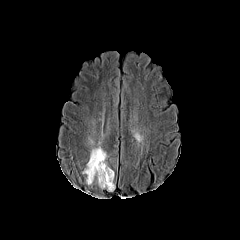
FLAIR magnetic resonance.
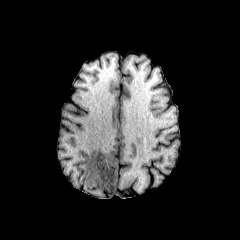
T1-weighted MR image of the same slice.
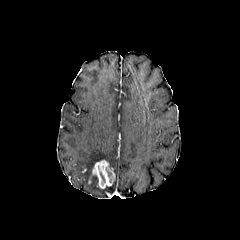
Post-contrast T1-weighted MR image.
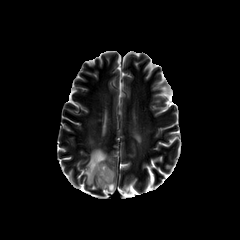
T2-weighted MRI of the same slice.
240x240
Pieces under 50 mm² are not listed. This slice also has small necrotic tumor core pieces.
{
  "peritumoral_edema": [
    "bbox(106, 181, 115, 191)",
    "bbox(84, 146, 107, 185)"
  ],
  "enhancing_tumor": [
    "bbox(92, 160, 115, 188)"
  ]
}